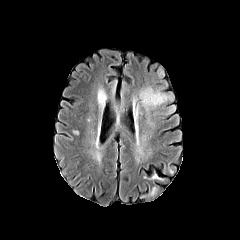
FLAIR MR image.
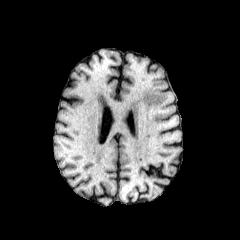
T1-weighted MRI of the same slice.
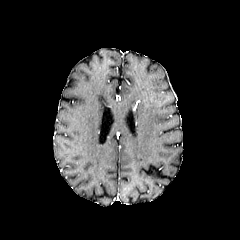
Post-contrast T1-weighted MR of the same slice.
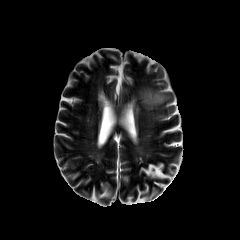
T2-weighted MR.
peritumoral edema = box=[139, 87, 170, 110]; box=[161, 105, 174, 115]